Brain; Slice 99 of 155; Image width 240 mm, 1.00 mm slice spacing
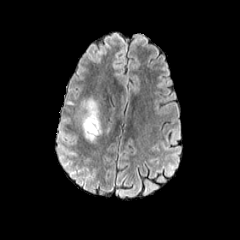
FLAIR magnetic resonance.
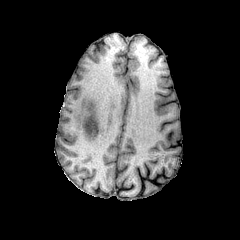
T1-weighted magnetic resonance.
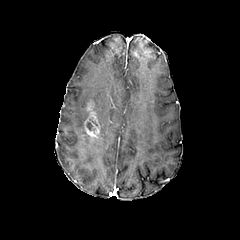
Post-contrast T1-weighted MRI.
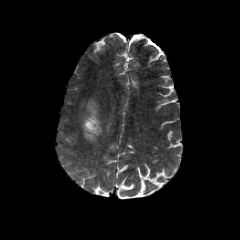
Same slice, T2-weighted magnetic resonance.
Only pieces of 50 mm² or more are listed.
The largest necrotic tumor core region appears at box=[86, 122, 95, 133]. The enhancing tumor is at box=[83, 99, 99, 142]. The largest peritumoral edema region is bounded by box=[83, 97, 101, 135].